FLAIR MRI.
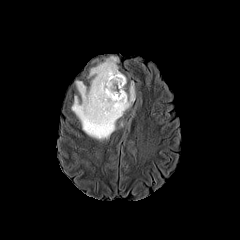
T1-weighted MR.
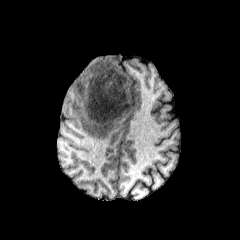
Post-contrast T1-weighted MR image.
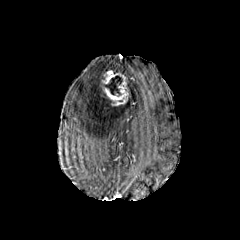
T2-weighted magnetic resonance.
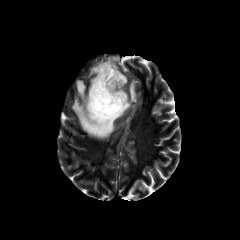
Head
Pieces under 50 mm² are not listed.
{"peritumoral_edema": ["<box>71,56,135,140</box>"], "necrotic_tumor_core": ["<box>99,75,122,105</box>"], "enhancing_tumor": ["<box>102,70,128,105</box>"]}